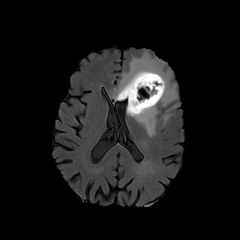
FLAIR MRI.
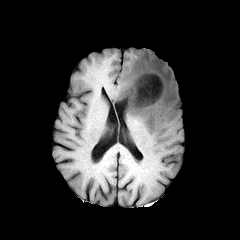
Same slice, T1-weighted MR.
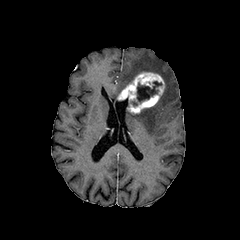
Post-contrast T1-weighted MRI.
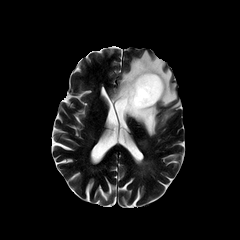
Same slice, T2-weighted MR image.
Axial view.
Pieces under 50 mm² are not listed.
{
  "enhancing_tumor": [
    "region(117, 72, 165, 113)"
  ],
  "necrotic_tumor_core": [
    "region(137, 81, 160, 102)"
  ],
  "peritumoral_edema": [
    "region(163, 103, 179, 123)",
    "region(111, 51, 177, 106)",
    "region(127, 103, 159, 136)"
  ]
}